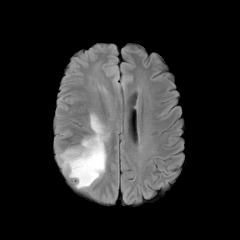
FLAIR MR image.
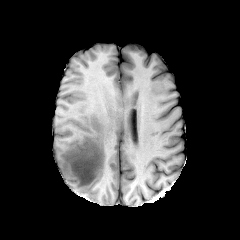
T1-weighted MR image.
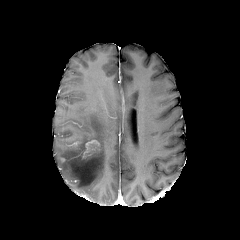
Post-contrast T1-weighted magnetic resonance of the same slice.
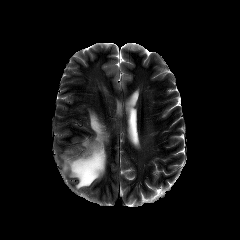
T2-weighted MR image.
Image size 240x240. Axial view. Brain.
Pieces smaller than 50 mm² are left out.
enhancing tumor — {"x1": 82, "y1": 140, "x2": 99, "y2": 158}
peritumoral edema — {"x1": 59, "y1": 113, "x2": 109, "y2": 188}